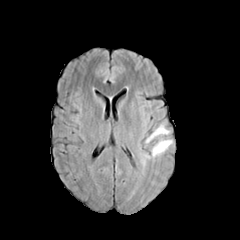
FLAIR magnetic resonance.
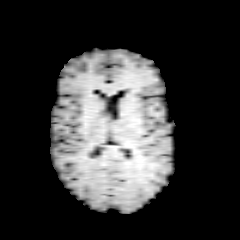
T1-weighted MR.
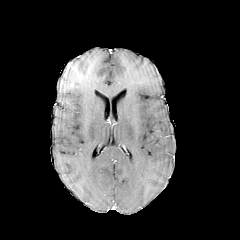
Post-contrast T1-weighted MRI.
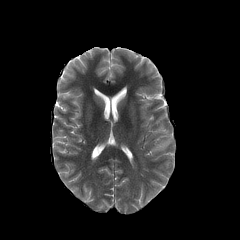
T2-weighted MRI of the same slice.
Brain
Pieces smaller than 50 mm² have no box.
peritumoral edema: l=151, t=139, r=172, b=157; l=146, t=125, r=169, b=142